FLAIR magnetic resonance.
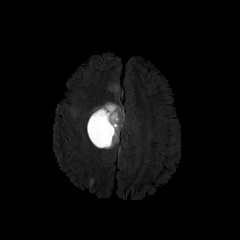
T1-weighted MRI.
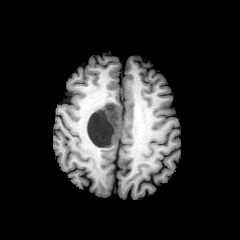
Post-contrast T1-weighted MR.
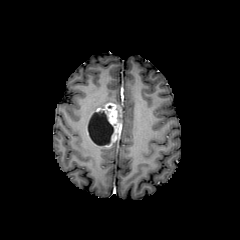
T2-weighted MR.
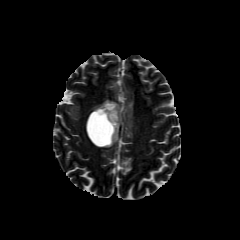
240x240 px. Brain. Axial view.
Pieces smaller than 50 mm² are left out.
<segmentation>
  <peritumoral_edema>bbox=[120, 107, 124, 127]</peritumoral_edema>
  <necrotic_tumor_core>bbox=[88, 111, 113, 146]</necrotic_tumor_core>
  <enhancing_tumor>bbox=[94, 103, 121, 147]</enhancing_tumor>
</segmentation>